Image width 240 mm, Axial view, Head, 240x240 px
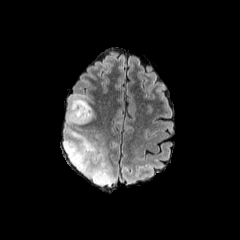
FLAIR MR image.
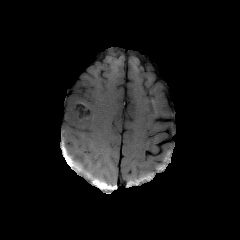
T1-weighted magnetic resonance.
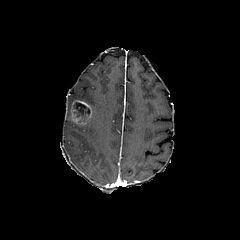
Post-contrast T1-weighted MR.
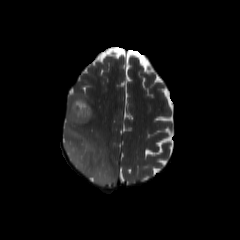
Same slice, T2-weighted MRI.
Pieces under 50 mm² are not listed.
The enhancing tumor lies within (left=70, top=99, right=92, bottom=124). The largest necrotic tumor core region is bounded by (left=72, top=102, right=90, bottom=118). 2 peritumoral edema regions are bounded by (left=67, top=94, right=96, bottom=125), (left=63, top=127, right=115, bottom=186).